FLAIR MRI.
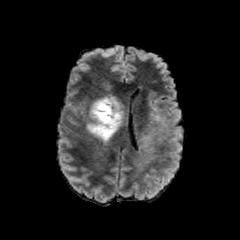
T1-weighted MRI.
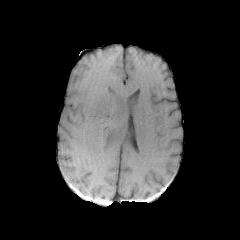
Post-contrast T1-weighted MR image.
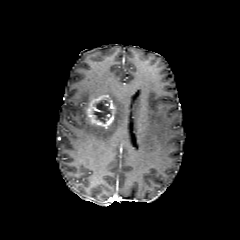
T2-weighted MR image.
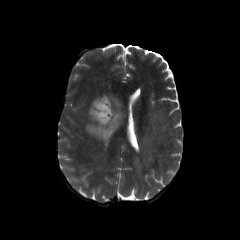
Axial view.
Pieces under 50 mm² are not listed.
2 peritumoral edema regions are bounded by [132,92,182,176], [86,95,122,140]. The largest enhancing tumor region is located at [87,94,115,128]. The necrotic tumor core lies within [93,100,111,123].